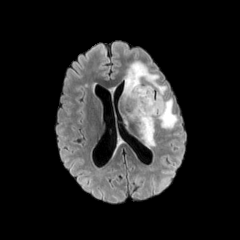
FLAIR MRI.
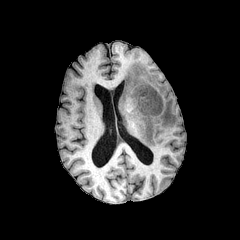
T1-weighted magnetic resonance of the same slice.
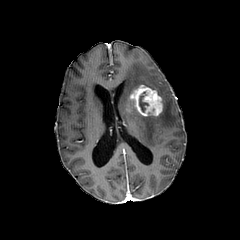
Post-contrast T1-weighted MRI.
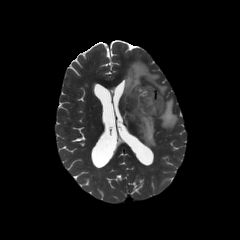
T2-weighted MRI.
Axial plane
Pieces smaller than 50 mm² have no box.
enhancing tumor: <bbox>130, 85, 162, 116</bbox>
necrotic tumor core: <bbox>139, 95, 148, 111</bbox>
peritumoral edema: <bbox>128, 98, 177, 146</bbox>, <bbox>124, 61, 166, 100</bbox>